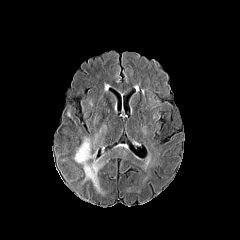
FLAIR MRI.
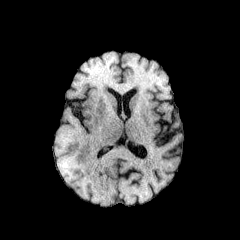
T1-weighted magnetic resonance.
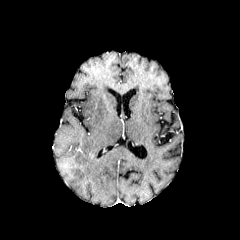
Same slice, post-contrast T1-weighted MRI.
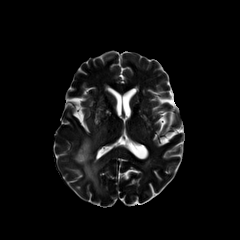
T2-weighted magnetic resonance.
Brain | Axial slice
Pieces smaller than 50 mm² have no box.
- peritumoral edema: [74,138,102,192]